Image covers 240 mm x 240 mm; Axial slice
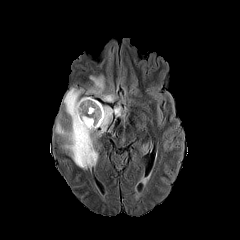
FLAIR magnetic resonance.
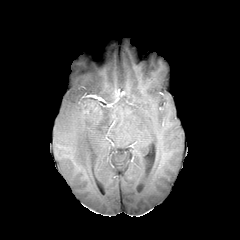
T1-weighted MR.
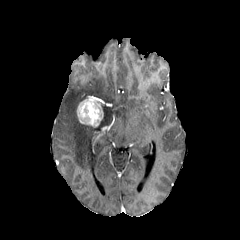
Same slice, post-contrast T1-weighted MRI.
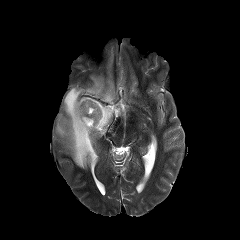
T2-weighted magnetic resonance.
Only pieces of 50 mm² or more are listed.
Segmented structures:
• peritumoral edema: [x1=86, y1=76, x2=115, y2=102], [x1=56, y1=87, x2=124, y2=168]
• enhancing tumor: [x1=76, y1=96, x2=103, y2=127]